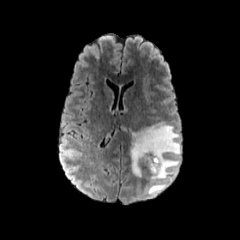
FLAIR magnetic resonance.
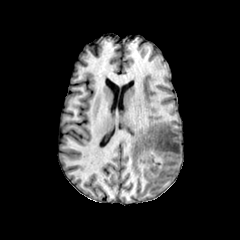
T1-weighted MR image.
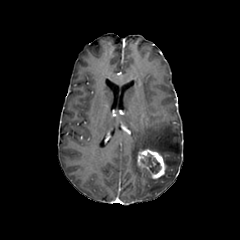
Post-contrast T1-weighted MR.
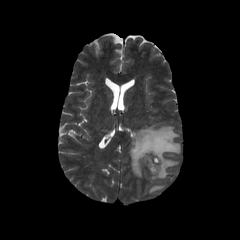
T2-weighted MRI of the same slice.
Axial slice. 240x240 px.
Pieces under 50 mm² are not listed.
- enhancing tumor: {"x1": 136, "y1": 148, "x2": 167, "y2": 179}
- peritumoral edema: {"x1": 128, "y1": 122, "x2": 180, "y2": 196}
- necrotic tumor core: {"x1": 141, "y1": 153, "x2": 160, "y2": 173}